Image width 240 mm
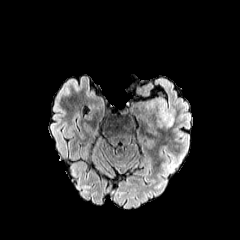
FLAIR MRI.
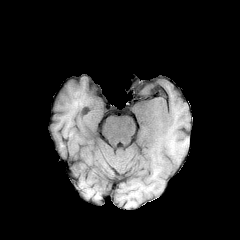
Same slice, T1-weighted magnetic resonance.
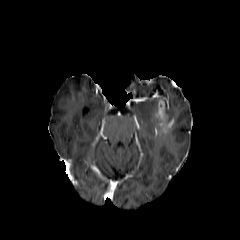
Post-contrast T1-weighted MR.
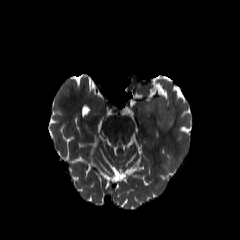
T2-weighted magnetic resonance.
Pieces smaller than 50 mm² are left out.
peritumoral edema = 165, 105, 174, 120; 148, 99, 160, 107
enhancing tumor = 155, 99, 173, 132